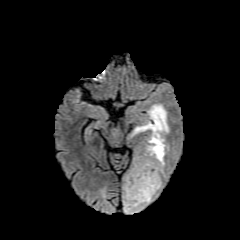
FLAIR MRI.
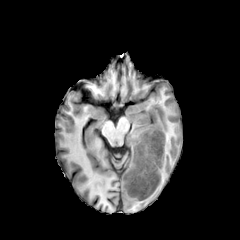
Same slice, T1-weighted MR image.
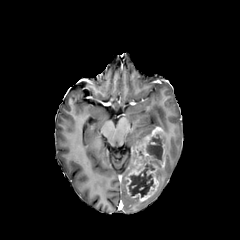
Same slice, post-contrast T1-weighted magnetic resonance.
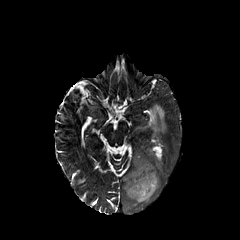
T2-weighted MRI.
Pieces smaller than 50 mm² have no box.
The 3 largest peritumoral edema regions are located at <bbox>157, 168, 164, 190</bbox>, <bbox>123, 177, 156, 212</bbox>, <bbox>129, 104, 168, 154</bbox>. The largest enhancing tumor region appears at <bbox>125, 126, 164, 201</bbox>. The largest necrotic tumor core region is bounded by <bbox>128, 134, 162, 197</bbox>.